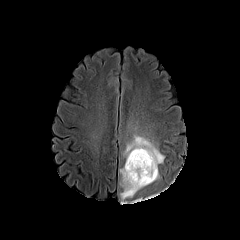
FLAIR MRI.
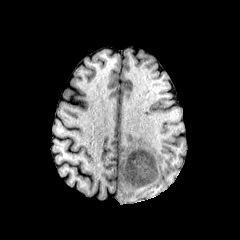
Same slice, T1-weighted MR.
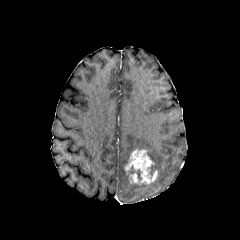
Post-contrast T1-weighted magnetic resonance.
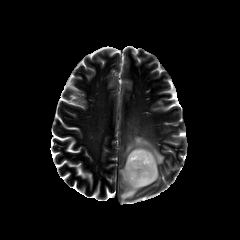
T2-weighted MR of the same slice.
Brain. Axial slice. 240x240.
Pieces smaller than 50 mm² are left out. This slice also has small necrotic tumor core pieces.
2 peritumoral edema regions appear at left=119, top=165, right=147, bottom=200; left=123, top=134, right=164, bottom=180. The enhancing tumor appears at left=125, top=149, right=157, bottom=185.